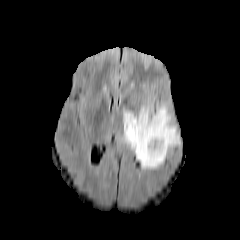
FLAIR MR image.
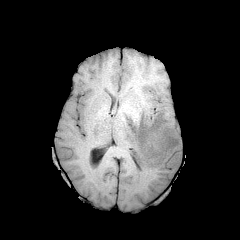
T1-weighted MRI of the same slice.
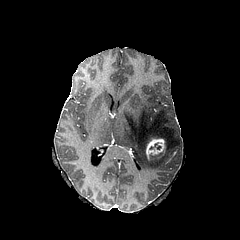
Same slice, post-contrast T1-weighted MR.
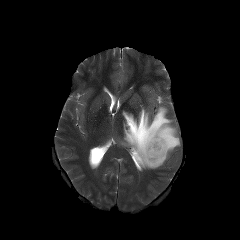
T2-weighted MRI.
Brain
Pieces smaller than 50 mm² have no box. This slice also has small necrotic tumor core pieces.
enhancing tumor = [145, 138, 165, 159]
peritumoral edema = [121, 104, 180, 169]